FLAIR MR image.
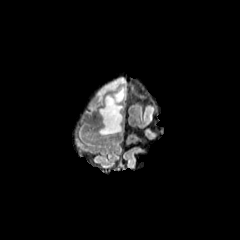
T1-weighted MR image.
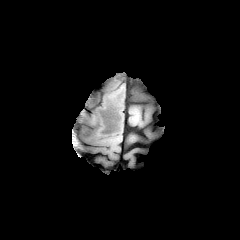
Post-contrast T1-weighted MR.
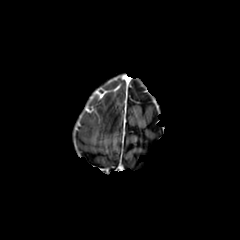
T2-weighted MRI.
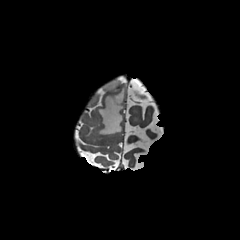
Axial plane | Image size 240x240
peritumoral_edema:
  - l=91, t=77, r=125, b=134